Axial view
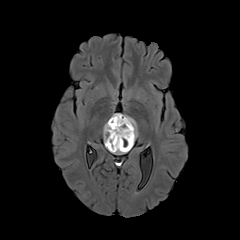
FLAIR MR image.
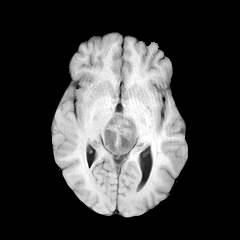
T1-weighted magnetic resonance.
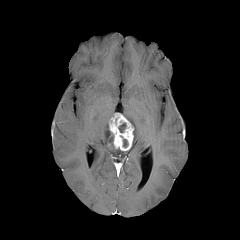
Post-contrast T1-weighted MRI.
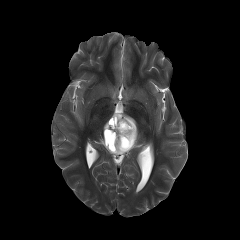
T2-weighted magnetic resonance of the same slice.
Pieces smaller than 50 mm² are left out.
necrotic tumor core — {"x1": 105, "y1": 129, "x2": 115, "y2": 149}, {"x1": 118, "y1": 123, "x2": 126, "y2": 132}
enhancing tumor — {"x1": 108, "y1": 113, "x2": 134, "y2": 150}
peritumoral edema — {"x1": 122, "y1": 114, "x2": 138, "y2": 146}, {"x1": 103, "y1": 119, "x2": 129, "y2": 154}